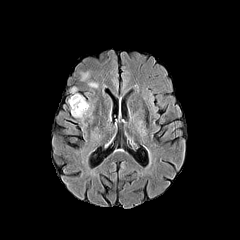
FLAIR MR.
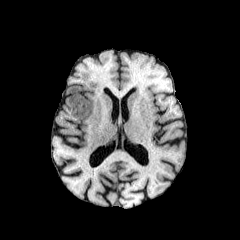
T1-weighted magnetic resonance.
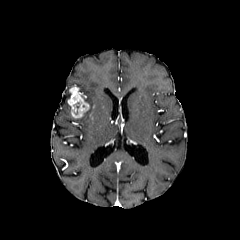
Post-contrast T1-weighted MR image.
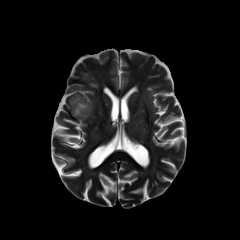
T2-weighted MRI.
Axial view; Brain
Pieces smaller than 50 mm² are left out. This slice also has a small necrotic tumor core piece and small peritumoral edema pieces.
enhancing tumor at rect(68, 86, 89, 118)